FLAIR MR image.
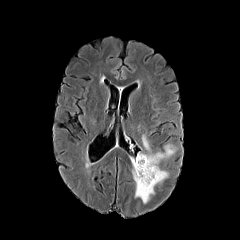
T1-weighted magnetic resonance.
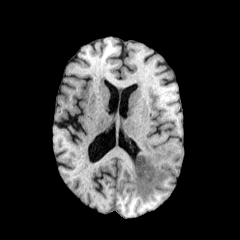
Post-contrast T1-weighted magnetic resonance.
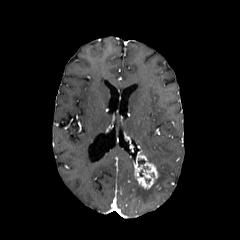
T2-weighted MR image.
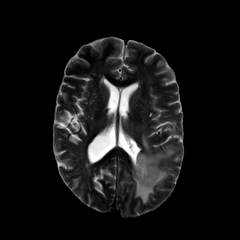
Axial slice.
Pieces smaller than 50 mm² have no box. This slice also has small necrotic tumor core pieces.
<segmentation>
  <enhancing_tumor>133:152:158:189</enhancing_tumor>
  <peritumoral_edema>132:134:175:203</peritumoral_edema>
</segmentation>